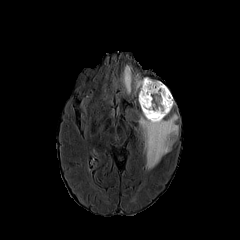
FLAIR MR.
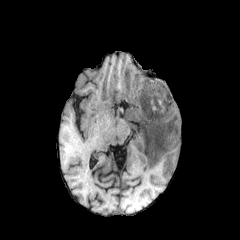
Same slice, T1-weighted MRI.
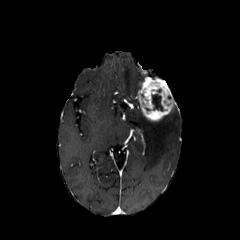
Same slice, post-contrast T1-weighted MRI.
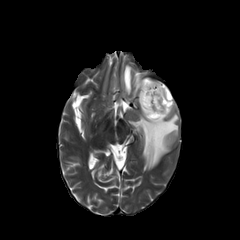
T2-weighted magnetic resonance.
Brain.
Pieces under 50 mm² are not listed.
peritumoral_edema:
  - left=138, top=113, right=178, bottom=169
  - left=121, top=65, right=143, bottom=94
enhancing_tumor:
  - left=138, top=77, right=175, bottom=121
necrotic_tumor_core:
  - left=152, top=94, right=163, bottom=111